FLAIR MR.
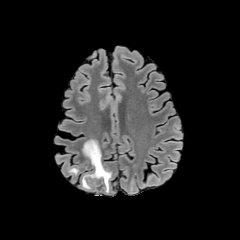
T1-weighted MR.
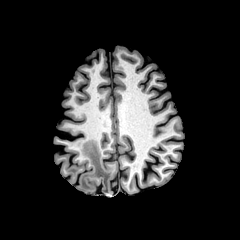
Post-contrast T1-weighted MR.
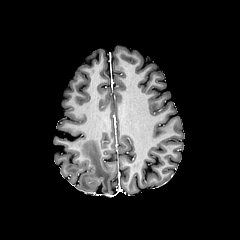
T2-weighted MR.
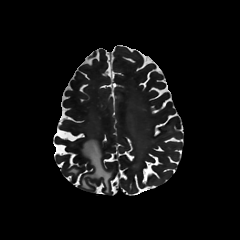
Head
<segmentation>
  <peritumoral_edema><box>81,139,111,191</box>, <box>69,167,78,174</box></peritumoral_edema>
</segmentation>